FLAIR magnetic resonance.
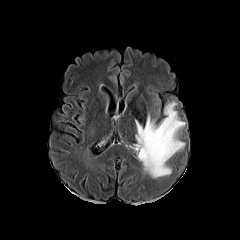
T1-weighted MRI.
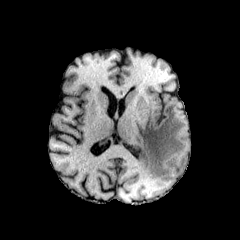
Post-contrast T1-weighted magnetic resonance.
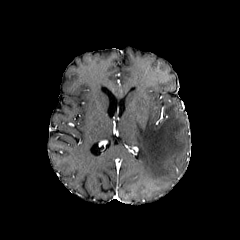
T2-weighted MR.
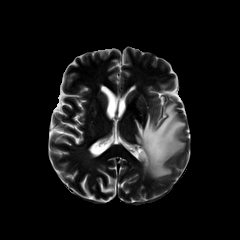
Head | Axial plane
The peritumoral edema lies within region(132, 100, 185, 178).